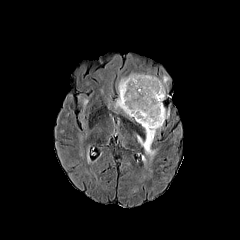
FLAIR MRI.
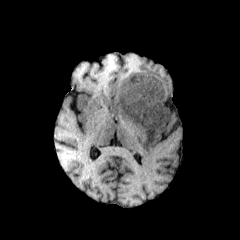
Same slice, T1-weighted magnetic resonance.
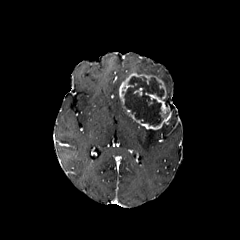
Same slice, post-contrast T1-weighted magnetic resonance.
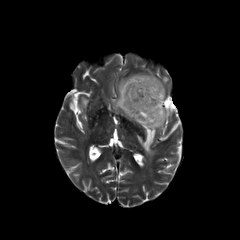
T2-weighted magnetic resonance of the same slice.
Head. 240x240.
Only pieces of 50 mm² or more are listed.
enhancing tumor = (left=119, top=73, right=170, bottom=129)
peritumoral edema = (left=161, top=75, right=169, bottom=86), (left=114, top=97, right=127, bottom=115), (left=137, top=128, right=157, bottom=158)
necrotic tumor core = (left=124, top=76, right=164, bottom=125)